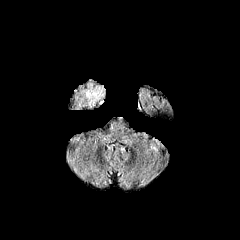
FLAIR MRI.
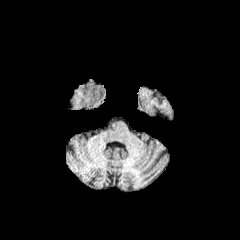
Same slice, T1-weighted MR.
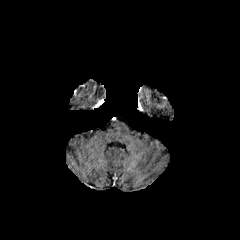
Post-contrast T1-weighted MR image.
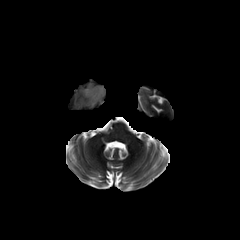
Same slice, T2-weighted MR image.
240x240 | Axial slice
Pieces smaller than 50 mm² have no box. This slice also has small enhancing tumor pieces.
* peritumoral edema: <box>84,83,103,105</box>